Slice index 95. Axial slice. 240x240 px.
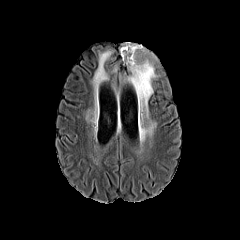
FLAIR MR.
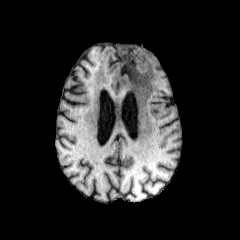
T1-weighted MR image.
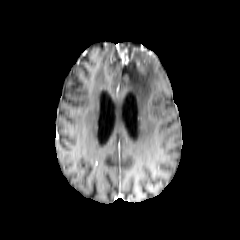
Post-contrast T1-weighted MR image.
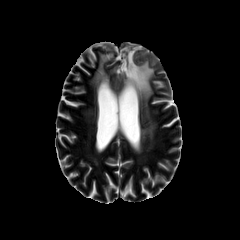
Same slice, T2-weighted MR.
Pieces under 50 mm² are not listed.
{
  "enhancing_tumor": [
    "x1=120 y1=49 x2=128 y2=64"
  ],
  "peritumoral_edema": [
    "x1=120 y1=42 x2=157 y2=140",
    "x1=92 y1=50 x2=111 y2=89"
  ]
}